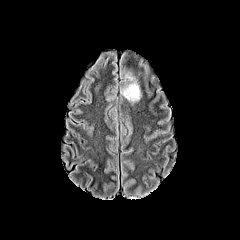
FLAIR MR.
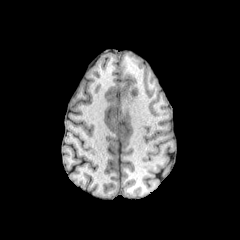
T1-weighted MR image.
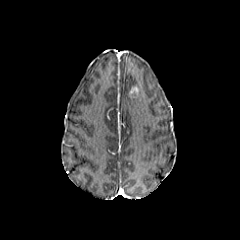
Post-contrast T1-weighted MR image of the same slice.
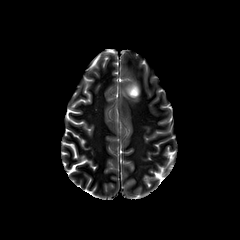
T2-weighted MRI of the same slice.
Axial slice
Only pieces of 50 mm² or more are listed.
{
  "peritumoral_edema": [
    "122 82 140 101"
  ],
  "enhancing_tumor": [
    "129 86 138 97"
  ]
}